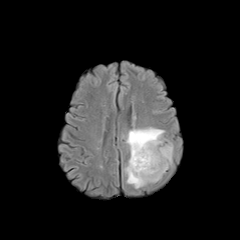
FLAIR MRI.
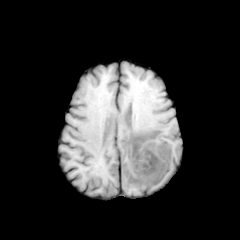
Same slice, T1-weighted MR.
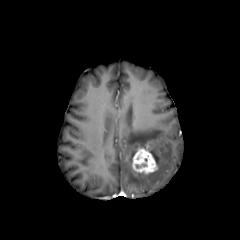
Same slice, post-contrast T1-weighted magnetic resonance.
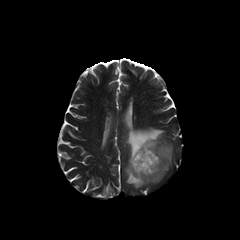
T2-weighted MR image.
Brain
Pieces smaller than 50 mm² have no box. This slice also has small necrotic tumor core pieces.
• peritumoral edema: (left=124, top=127, right=173, bottom=188)
• enhancing tumor: (left=132, top=139, right=159, bottom=174)